FLAIR MR.
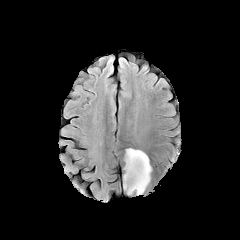
T1-weighted magnetic resonance.
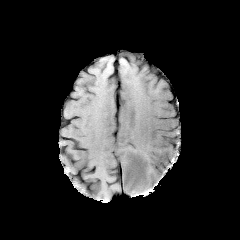
Post-contrast T1-weighted MR image.
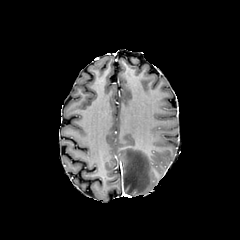
T2-weighted magnetic resonance.
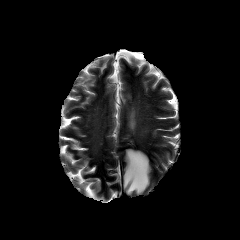
Brain; Axial plane
Findings:
* peritumoral edema: bbox(123, 148, 151, 194)